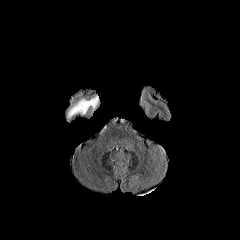
FLAIR MR image.
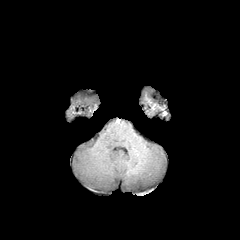
T1-weighted MRI.
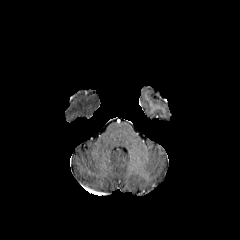
Post-contrast T1-weighted MRI.
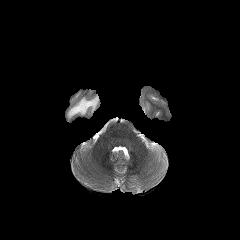
T2-weighted MRI.
Axial slice. Image size 240x240. Brain.
The peritumoral edema is at [x1=67, y1=95, x2=98, y2=118].